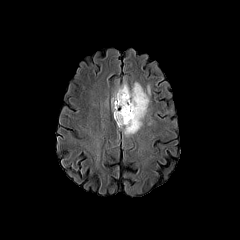
FLAIR MR.
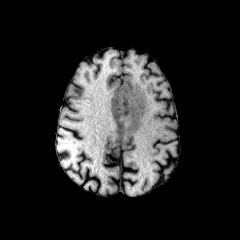
Same slice, T1-weighted MR image.
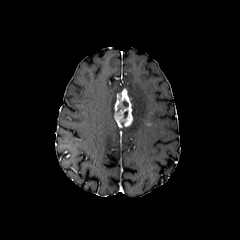
Same slice, post-contrast T1-weighted MR.
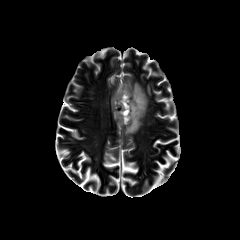
T2-weighted MR image.
Brain
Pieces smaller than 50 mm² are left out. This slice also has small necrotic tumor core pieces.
peritumoral edema: 111:82:149:136 | enhancing tumor: 114:88:132:126